Slice 86 of 155 | Image width 240 mm, 1.00 mm slice spacing | Image size 240x240
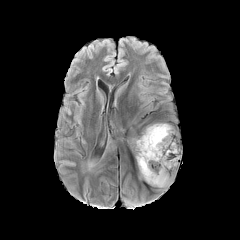
FLAIR magnetic resonance.
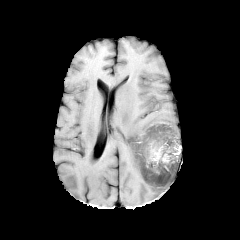
T1-weighted MR image.
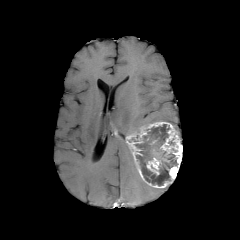
Same slice, post-contrast T1-weighted MR.
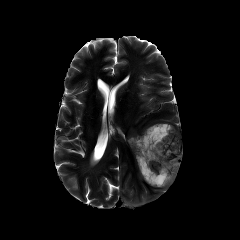
T2-weighted magnetic resonance of the same slice.
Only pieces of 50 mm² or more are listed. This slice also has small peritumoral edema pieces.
Findings:
- enhancing tumor: (x1=127, y1=122, x2=182, y2=188)
- necrotic tumor core: (x1=135, y1=124, x2=177, y2=185)